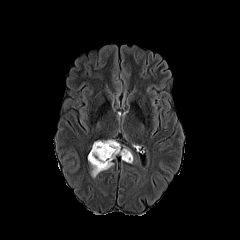
FLAIR MR.
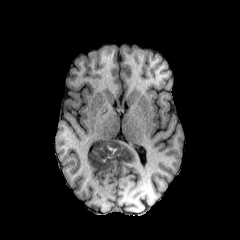
T1-weighted MR image.
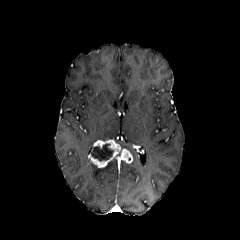
Post-contrast T1-weighted MR.
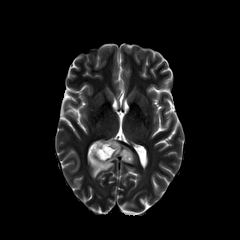
T2-weighted MR.
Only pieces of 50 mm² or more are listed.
The enhancing tumor is located at (88,139,132,168). The largest necrotic tumor core region is at (90,144,113,161). The largest peritumoral edema region is located at (88,159,113,178).